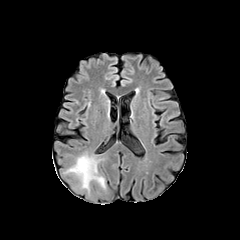
FLAIR magnetic resonance.
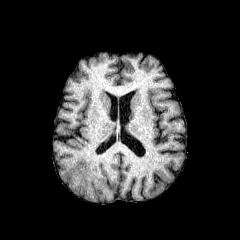
T1-weighted MR.
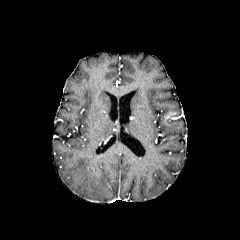
Same slice, post-contrast T1-weighted MR.
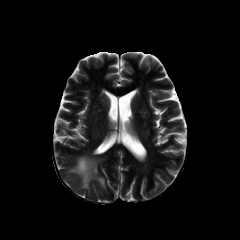
T2-weighted magnetic resonance.
Axial view.
peritumoral_edema:
  - {"x1": 69, "y1": 155, "x2": 105, "y2": 188}